Axial slice, Head, Image size 240x240, Image covers 240 mm x 240 mm
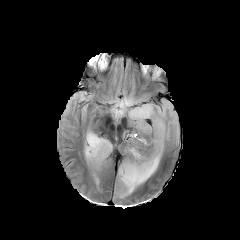
FLAIR magnetic resonance.
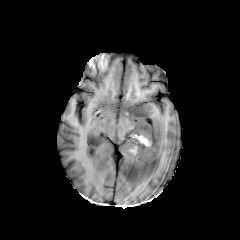
T1-weighted MR image.
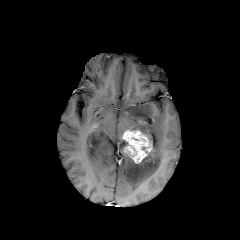
Post-contrast T1-weighted MRI.
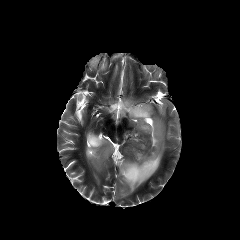
T2-weighted magnetic resonance.
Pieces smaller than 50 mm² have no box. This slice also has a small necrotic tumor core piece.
{
  "peritumoral_edema": [
    "[111, 97, 165, 196]",
    "[85, 130, 112, 168]"
  ],
  "enhancing_tumor": [
    "[122, 130, 152, 163]"
  ]
}